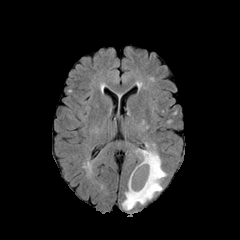
FLAIR magnetic resonance.
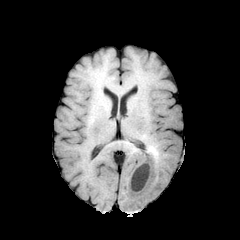
T1-weighted magnetic resonance.
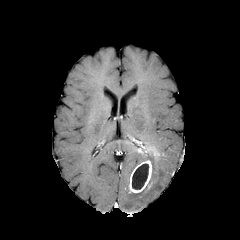
Same slice, post-contrast T1-weighted MR.
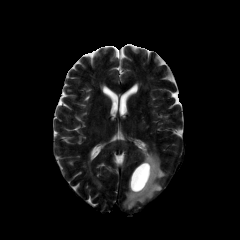
T2-weighted MR image.
Brain; 240x240; Axial view
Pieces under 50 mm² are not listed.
Annotated regions:
* enhancing tumor: (129, 160, 152, 192)
* peritumoral edema: (122, 142, 166, 210), (134, 149, 143, 161)
* necrotic tumor core: (132, 164, 148, 189)